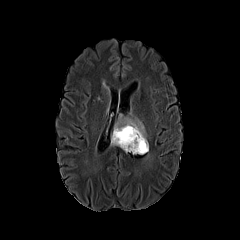
FLAIR MR image.
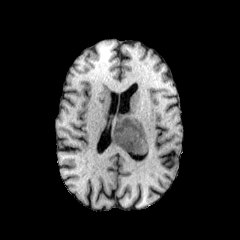
T1-weighted MR image of the same slice.
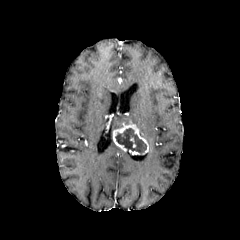
Post-contrast T1-weighted magnetic resonance of the same slice.
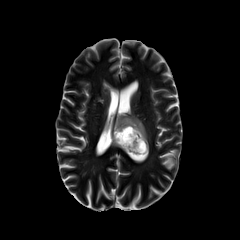
T2-weighted MRI.
Axial view | 240x240 px
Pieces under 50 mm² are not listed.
• peritumoral edema: 114, 115, 146, 139
• enhancing tumor: 112, 120, 148, 154
• necrotic tumor core: 115, 128, 146, 153